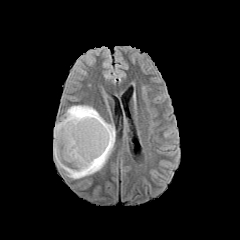
FLAIR MR.
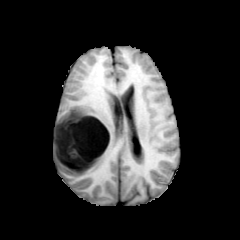
T1-weighted MR.
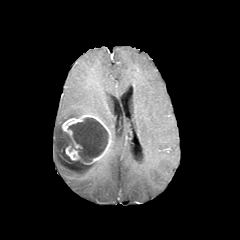
Post-contrast T1-weighted magnetic resonance.
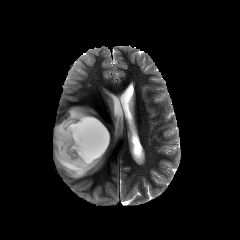
T2-weighted magnetic resonance of the same slice.
Head.
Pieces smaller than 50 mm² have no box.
enhancing tumor = [62,114,111,164], [60,145,80,163]
peritumoral edema = [53,105,115,179]
necrotic tumor core = [62,147,72,161], [68,117,108,162]